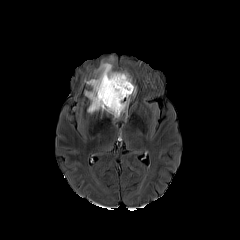
FLAIR MR.
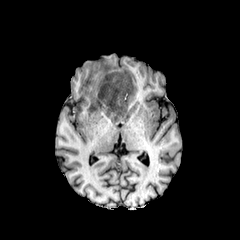
T1-weighted MRI.
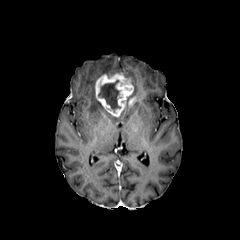
Same slice, post-contrast T1-weighted MR.
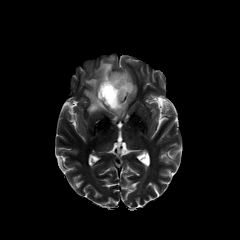
Same slice, T2-weighted magnetic resonance.
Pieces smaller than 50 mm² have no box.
necrotic tumor core — [98, 80, 120, 109]
peritumoral edema — [84, 56, 129, 113], [125, 83, 136, 110]
enhancing tumor — [95, 73, 133, 116]